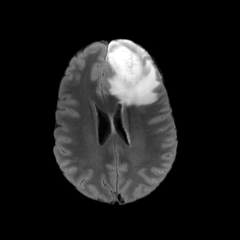
FLAIR MRI.
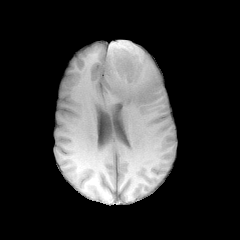
T1-weighted MR of the same slice.
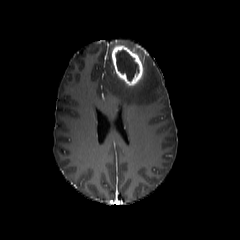
Post-contrast T1-weighted magnetic resonance.
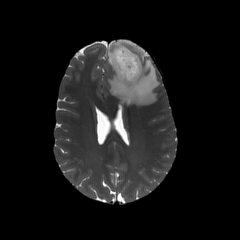
T2-weighted MR.
Axial plane
The necrotic tumor core appears at left=115, top=50, right=138, bottom=80. The peritumoral edema is at left=97, top=39, right=160, bottom=105. The enhancing tumor appears at left=111, top=44, right=143, bottom=86.